FLAIR MR image.
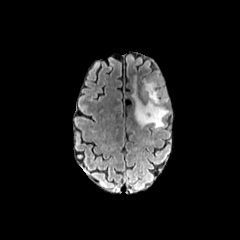
T1-weighted MRI.
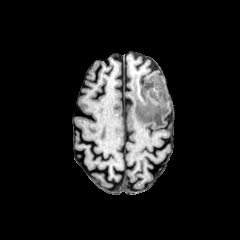
Post-contrast T1-weighted MR.
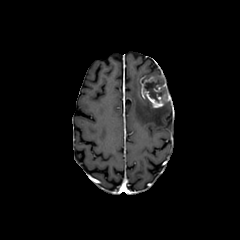
T2-weighted MR image.
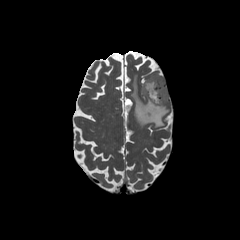
Axial view
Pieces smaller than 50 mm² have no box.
{"enhancing_tumor": ["bbox=[141, 75, 170, 108]"], "peritumoral_edema": ["bbox=[131, 76, 169, 128]"], "necrotic_tumor_core": ["bbox=[144, 80, 165, 102]"]}